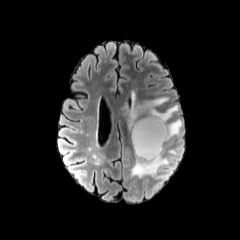
FLAIR MR image.
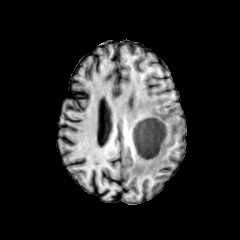
T1-weighted MRI of the same slice.
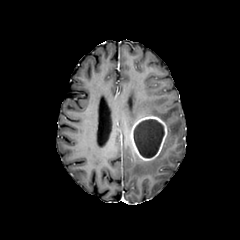
Post-contrast T1-weighted MRI.
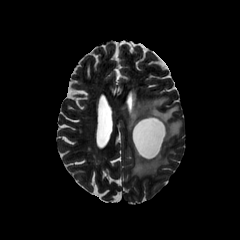
T2-weighted MRI.
Head
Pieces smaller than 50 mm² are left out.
<segmentation>
  <enhancing_tumor>{"x1": 131, "y1": 116, "x2": 167, "y2": 161}</enhancing_tumor>
  <peritumoral_edema>{"x1": 131, "y1": 153, "x2": 168, "y2": 177}, {"x1": 120, "y1": 92, "x2": 181, "y2": 140}</peritumoral_edema>
  <necrotic_tumor_core>{"x1": 134, "y1": 119, "x2": 164, "y2": 157}</necrotic_tumor_core>
</segmentation>